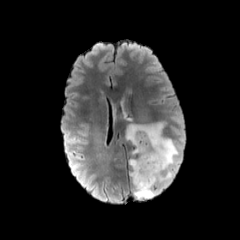
FLAIR MR image.
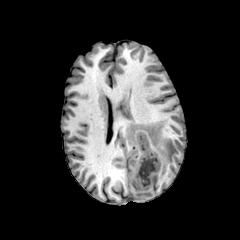
T1-weighted MRI of the same slice.
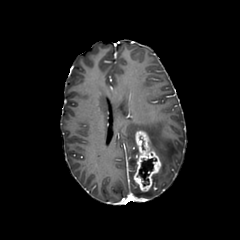
Post-contrast T1-weighted MRI.
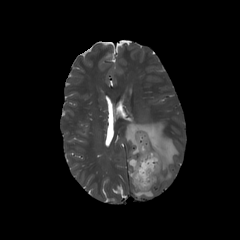
T2-weighted MRI.
Axial slice, Brain
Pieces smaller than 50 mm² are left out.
peritumoral edema at box(129, 159, 156, 198); box(126, 122, 178, 185)
enhancing tumor at box(133, 131, 161, 191)
necrotic tumor core at box(138, 158, 156, 186)